Image covers 240 mm x 240 mm; Slice 46 of 155; Axial plane; Head
FLAIR MR image.
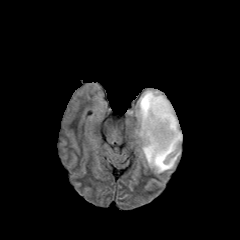
T1-weighted MR image.
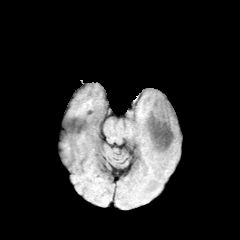
Post-contrast T1-weighted MR image.
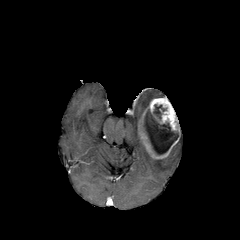
T2-weighted MRI.
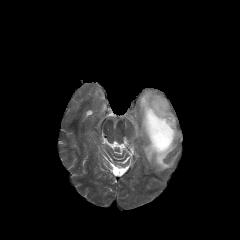
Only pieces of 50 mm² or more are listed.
{"necrotic_tumor_core": ["box=[153, 105, 165, 118]", "box=[142, 109, 178, 154]"], "peritumoral_edema": ["box=[139, 132, 182, 173]", "box=[126, 90, 165, 123]"], "enhancing_tumor": ["box=[138, 97, 180, 160]"]}